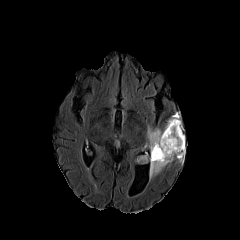
FLAIR MR.
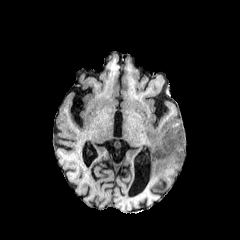
Same slice, T1-weighted MR image.
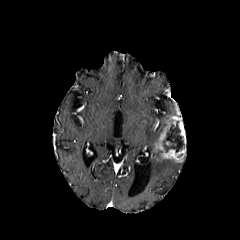
Post-contrast T1-weighted magnetic resonance of the same slice.
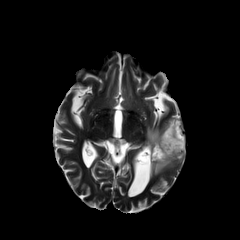
Same slice, T2-weighted MR.
Axial slice | Image size 240x240
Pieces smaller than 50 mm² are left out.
peritumoral edema: box(146, 125, 161, 154); box(150, 156, 173, 178) | necrotic tumor core: box(163, 121, 184, 152) | enhancing tumor: box(153, 113, 185, 162)